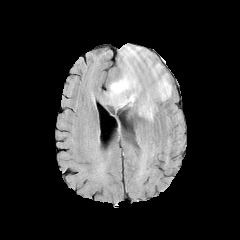
FLAIR MRI.
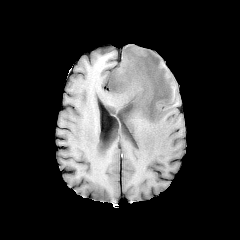
T1-weighted MR image of the same slice.
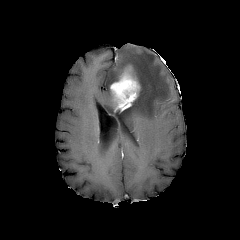
Post-contrast T1-weighted MR image of the same slice.
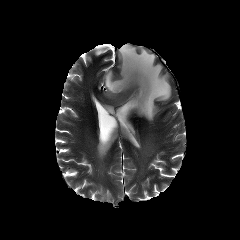
T2-weighted MR of the same slice.
Head | 240x240
<segmentation>
  <peritumoral_edema>bbox=[104, 45, 172, 121]</peritumoral_edema>
  <enhancing_tumor>bbox=[110, 66, 140, 110]</enhancing_tumor>
</segmentation>